FLAIR MRI.
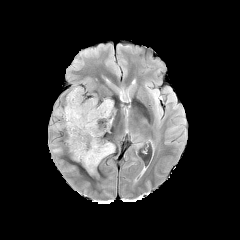
T1-weighted MRI.
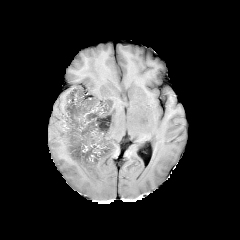
Post-contrast T1-weighted magnetic resonance.
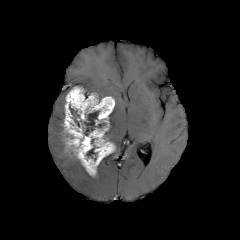
T2-weighted MR.
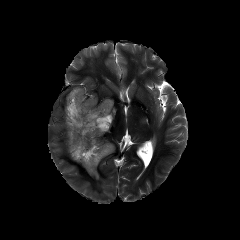
Image size 240x240.
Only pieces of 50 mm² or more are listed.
{"enhancing_tumor": ["[x1=62, y1=86, x2=115, y2=176]"], "necrotic_tumor_core": ["[x1=86, y1=146, x2=96, y2=157]", "[x1=84, y1=110, x2=105, y2=135]"], "peritumoral_edema": ["[x1=55, y1=108, x2=64, y2=117]"]}